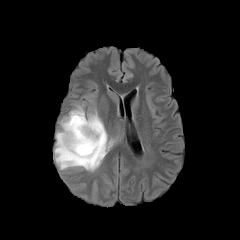
FLAIR magnetic resonance.
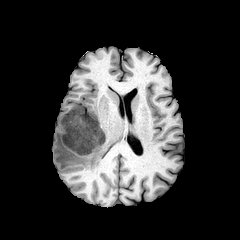
Same slice, T1-weighted MR image.
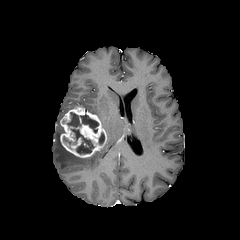
Post-contrast T1-weighted MR.
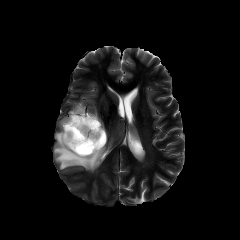
T2-weighted magnetic resonance of the same slice.
Axial plane, Head, 240x240
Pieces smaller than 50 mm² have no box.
necrotic tumor core: bbox=[67, 112, 94, 154]; bbox=[99, 133, 104, 144]; bbox=[80, 114, 98, 132]
enhancing tumor: bbox=[60, 106, 106, 157]
peritumoral edema: bbox=[54, 128, 112, 171]